FLAIR MR.
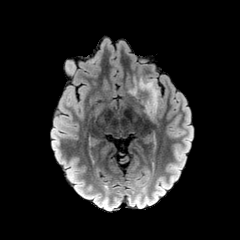
T1-weighted MR image.
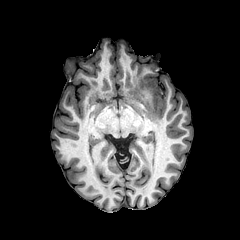
Post-contrast T1-weighted MRI.
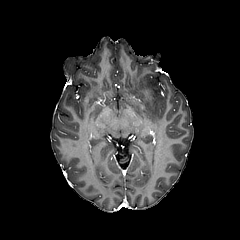
T2-weighted magnetic resonance.
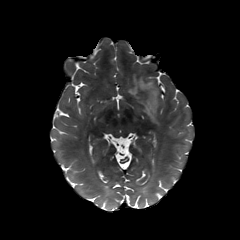
peritumoral edema = (x1=130, y1=77, x2=159, y2=121)